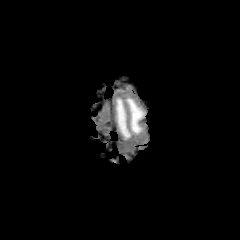
FLAIR MRI.
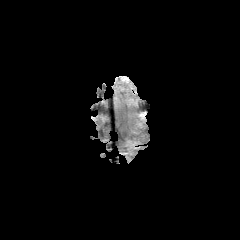
T1-weighted MR.
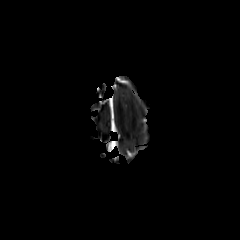
Same slice, post-contrast T1-weighted MR image.
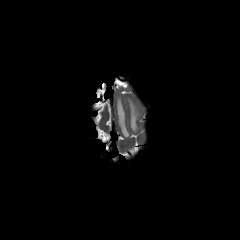
T2-weighted MR.
Axial view
{
  "peritumoral_edema": [
    "(126,97,143,133)",
    "(116,97,130,138)"
  ]
}